Brain; Axial plane
FLAIR MRI.
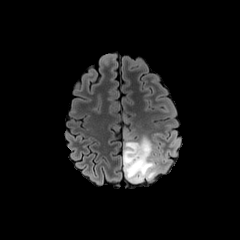
T1-weighted MR.
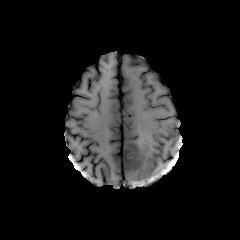
Post-contrast T1-weighted MR.
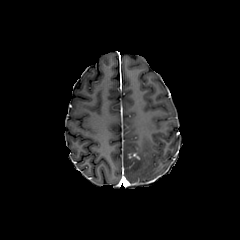
T2-weighted MRI.
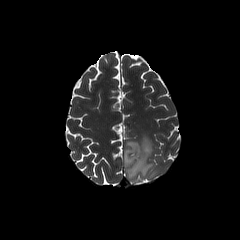
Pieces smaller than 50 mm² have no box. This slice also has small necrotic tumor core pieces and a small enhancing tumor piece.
Annotated regions:
• peritumoral edema: bbox(123, 134, 164, 182)